Image width 240 mm, 1.00 mm slice spacing; Brain
FLAIR MR image.
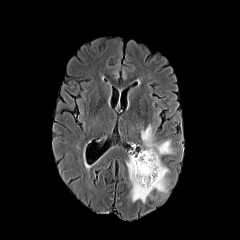
T1-weighted magnetic resonance.
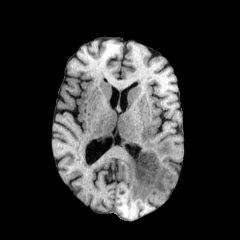
Post-contrast T1-weighted MRI.
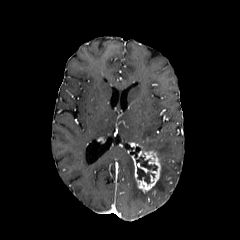
T2-weighted MRI.
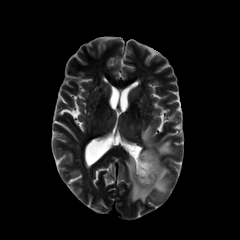
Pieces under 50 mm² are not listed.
enhancing tumor: bounding box [131, 150, 160, 193]
peritumoral edema: bounding box [126, 125, 173, 202]
necrotic tumor core: bounding box [133, 154, 157, 170], [137, 166, 154, 183]